FLAIR MR image.
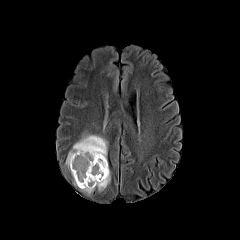
T1-weighted MR image.
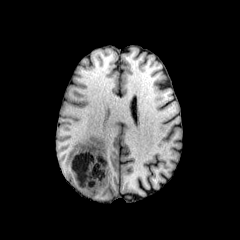
Post-contrast T1-weighted MRI.
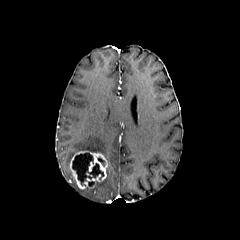
T2-weighted MR image.
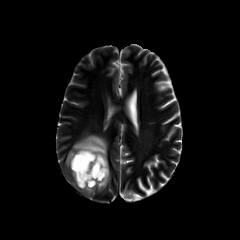
Brain
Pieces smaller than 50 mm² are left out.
necrotic tumor core: bounding box <bbox>72, 153, 104, 185</bbox>
peritumoral edema: bounding box <bbox>95, 163, 110, 191</bbox>, <bbox>81, 187, 94, 194</bbox>, <bbox>65, 134, 107, 171</bbox>
enhancing tumor: bounding box <bbox>70, 150, 107, 188</bbox>